FLAIR MR.
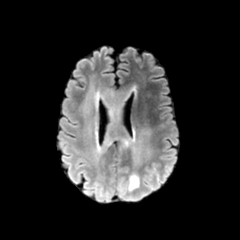
T1-weighted MR.
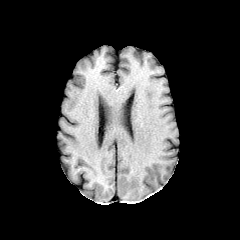
Post-contrast T1-weighted MR image.
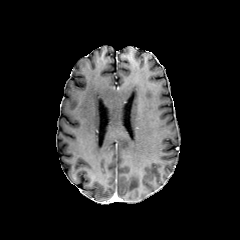
T2-weighted MR image.
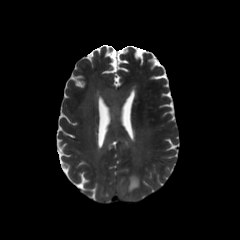
Axial slice. Brain.
{"peritumoral_edema": ["rect(128, 175, 139, 190)", "rect(101, 90, 154, 169)"]}